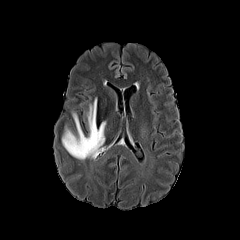
FLAIR magnetic resonance.
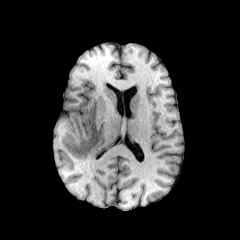
Same slice, T1-weighted MRI.
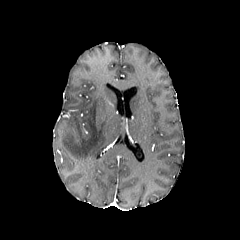
Post-contrast T1-weighted MR image.
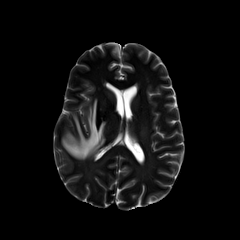
Same slice, T2-weighted MR image.
Head | Axial slice
peritumoral edema = bbox(61, 98, 106, 159)